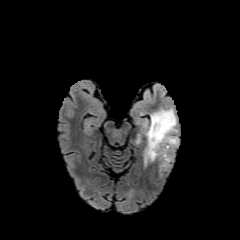
FLAIR MR.
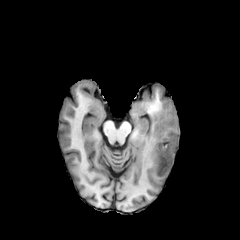
Same slice, T1-weighted MR.
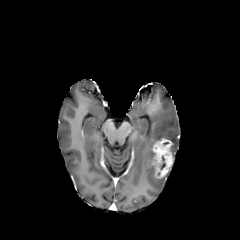
Same slice, post-contrast T1-weighted MR image.
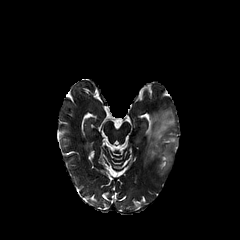
Same slice, T2-weighted magnetic resonance.
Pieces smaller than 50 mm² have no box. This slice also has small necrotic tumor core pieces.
The largest peritumoral edema region lies within bbox=[144, 108, 178, 165]. The enhancing tumor is at bbox=[152, 138, 173, 177].